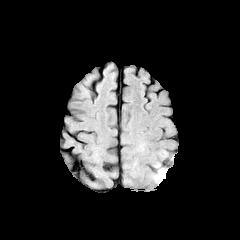
FLAIR MR image.
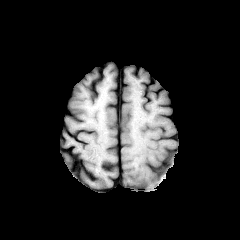
T1-weighted MR image.
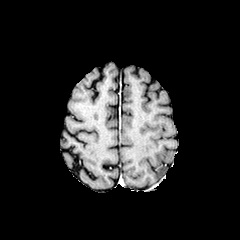
Post-contrast T1-weighted MR image.
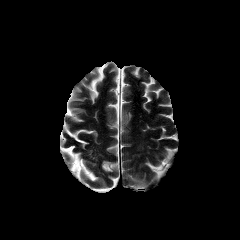
T2-weighted MR of the same slice.
Head
Annotated regions:
* peritumoral edema: left=155, top=168, right=166, bottom=179